FLAIR magnetic resonance.
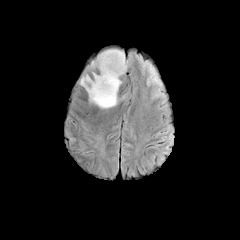
T1-weighted MRI.
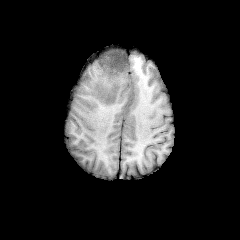
Post-contrast T1-weighted magnetic resonance.
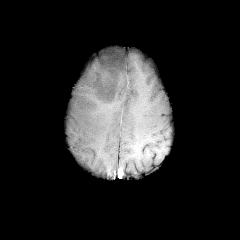
T2-weighted MRI.
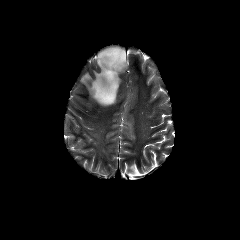
Brain.
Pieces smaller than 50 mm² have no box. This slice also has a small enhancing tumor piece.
The peritumoral edema is located at (80,49,127,110).